FLAIR MR image.
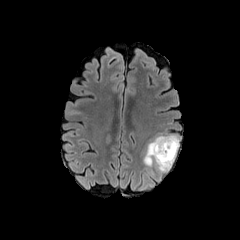
T1-weighted MR image.
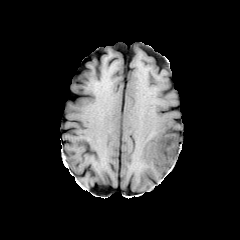
Post-contrast T1-weighted MR image.
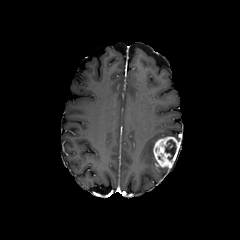
T2-weighted magnetic resonance.
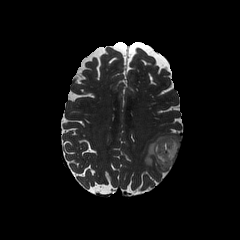
Axial slice, Head
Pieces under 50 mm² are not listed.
<segmentation>
  <peritumoral_edema>(143, 134, 180, 167)</peritumoral_edema>
  <necrotic_tumor_core>(165, 139, 176, 159)</necrotic_tumor_core>
  <enhancing_tumor>(153, 136, 179, 169)</enhancing_tumor>
</segmentation>